FLAIR MR.
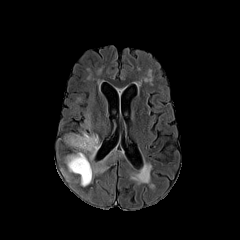
T1-weighted MR.
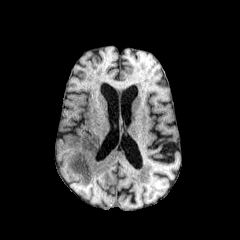
Post-contrast T1-weighted MRI.
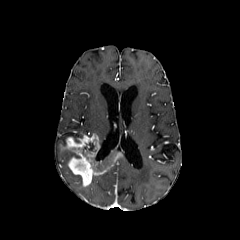
T2-weighted MR.
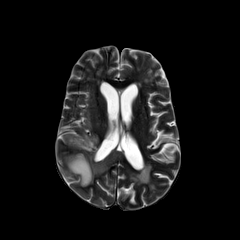
Brain
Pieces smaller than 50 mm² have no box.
peritumoral edema: <box>65,132,92,141</box>, <box>82,114,93,130</box>, <box>66,154,76,172</box> | necrotic tumor core: <box>82,142,95,155</box> | enhancing tumor: <box>59,134,122,186</box>